Axial slice | 240x240
FLAIR MR image.
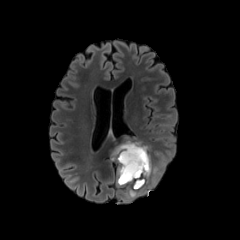
T1-weighted magnetic resonance.
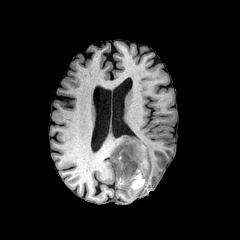
Post-contrast T1-weighted MR image.
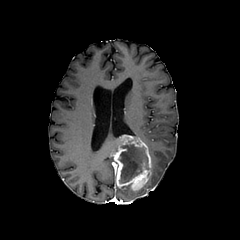
T2-weighted MR image.
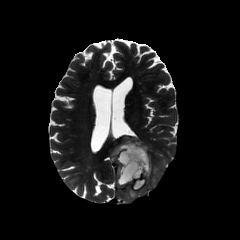
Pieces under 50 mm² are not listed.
The largest enhancing tumor region is bounded by [111,135,151,190]. The necrotic tumor core is bounded by [119,144,147,183]. The 2 largest peritumoral edema regions appear at [128,188,136,197], [146,162,160,188].